Axial plane; Head
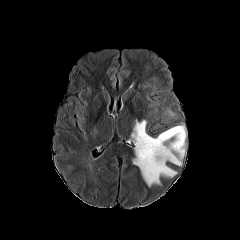
FLAIR MR.
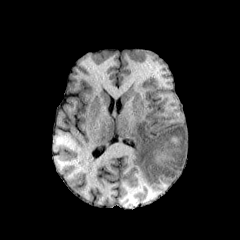
T1-weighted MR of the same slice.
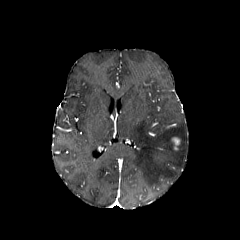
Post-contrast T1-weighted MR.
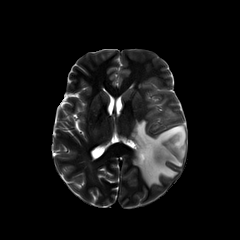
T2-weighted magnetic resonance.
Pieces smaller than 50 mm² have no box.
enhancing tumor = region(171, 137, 180, 150)
peritumoral edema = region(131, 120, 186, 187)